FLAIR MR image.
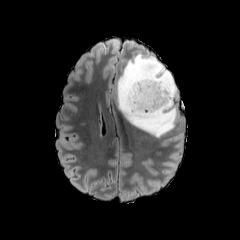
T1-weighted MRI.
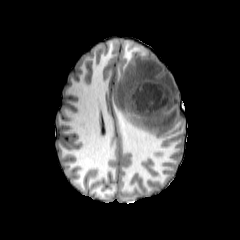
Post-contrast T1-weighted MRI.
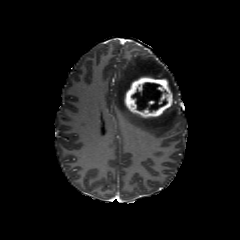
T2-weighted magnetic resonance.
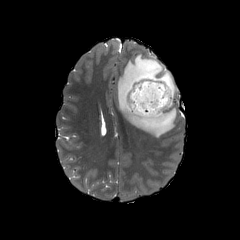
Head | Axial plane
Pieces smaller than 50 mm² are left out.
enhancing tumor at box=[122, 75, 172, 119]
necrotic tumor core at box=[131, 82, 167, 111]
peritumoral edema at box=[115, 51, 178, 137]